Slice index 64; Image size 240x240
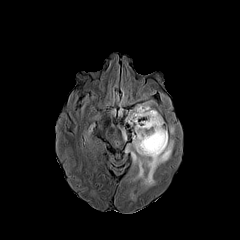
FLAIR MRI.
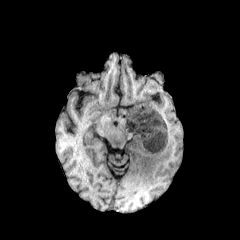
Same slice, T1-weighted magnetic resonance.
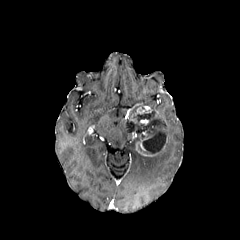
Post-contrast T1-weighted magnetic resonance.
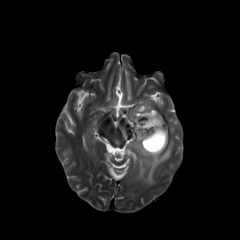
T2-weighted magnetic resonance.
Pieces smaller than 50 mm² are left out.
Annotated regions:
- enhancing tumor: l=135, t=131, r=165, b=156; l=135, t=106, r=152, b=115
- necrotic tumor core: l=130, t=110, r=166, b=153
- peritumoral edema: l=126, t=138, r=174, b=186; l=126, t=100, r=151, b=125; l=120, t=126, r=127, b=141